FLAIR MR.
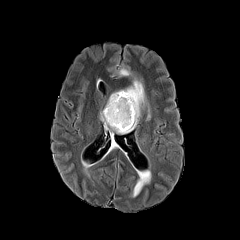
T1-weighted MR.
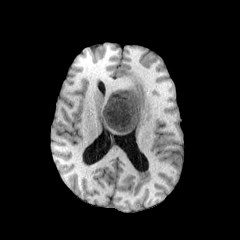
Post-contrast T1-weighted MRI.
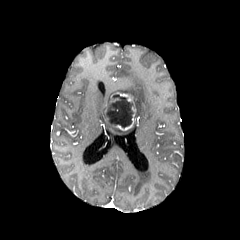
T2-weighted MR.
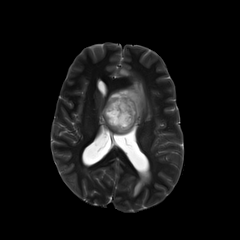
Head
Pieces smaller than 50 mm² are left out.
The largest necrotic tumor core region is located at l=103, t=94, r=133, b=127. The 3 largest peritumoral edema regions are located at l=100, t=110, r=136, b=133; l=119, t=78, r=146, b=117; l=119, t=69, r=132, b=76. The largest enhancing tumor region lies within l=113, t=92, r=136, b=130.